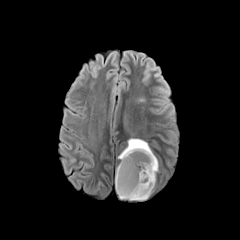
FLAIR magnetic resonance.
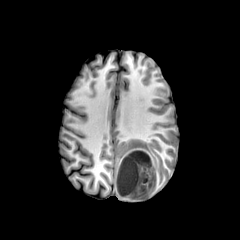
T1-weighted MR image.
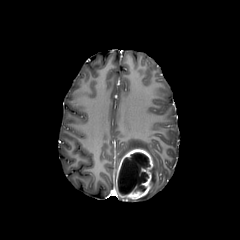
Post-contrast T1-weighted magnetic resonance.
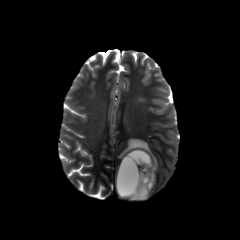
T2-weighted MR.
Axial slice; Brain
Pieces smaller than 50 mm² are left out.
necrotic tumor core: {"x1": 117, "y1": 153, "x2": 149, "y2": 194} | peritumoral edema: {"x1": 118, "y1": 139, "x2": 158, "y2": 199} | enhancing tumor: {"x1": 116, "y1": 148, "x2": 153, "y2": 199}